FLAIR MRI.
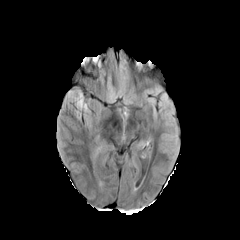
T1-weighted MR image.
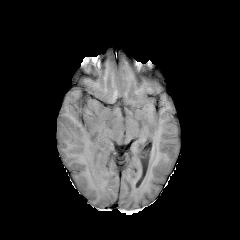
Post-contrast T1-weighted magnetic resonance.
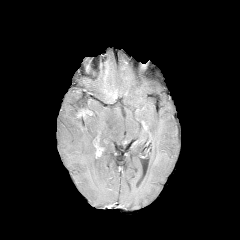
T2-weighted MR.
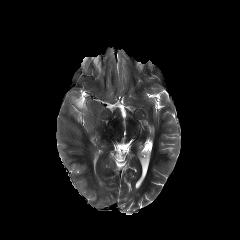
Axial plane.
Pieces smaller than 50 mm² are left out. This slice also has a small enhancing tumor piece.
peritumoral edema at box=[74, 93, 89, 114]